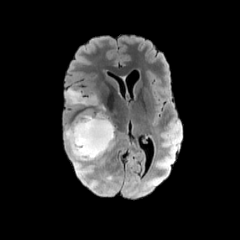
FLAIR MRI.
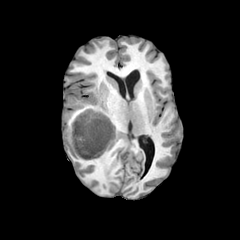
T1-weighted MR image.
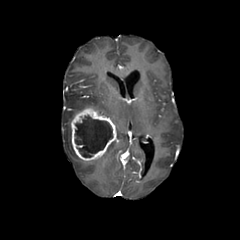
Post-contrast T1-weighted magnetic resonance.
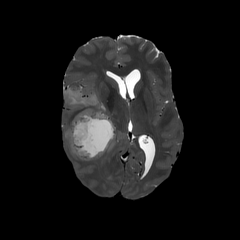
Same slice, T2-weighted magnetic resonance.
240x240 | Head
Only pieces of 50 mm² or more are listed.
Segmented structures:
* necrotic tumor core: (x1=75, y1=116, x2=112, y2=157)
* enhancing tumor: (x1=71, y1=108, x2=116, y2=160)
* peritumoral edema: (x1=66, y1=89, x2=104, y2=110), (x1=65, y1=128, x2=79, y2=158)